Head. Slice 77 of 155.
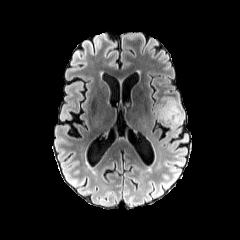
FLAIR magnetic resonance.
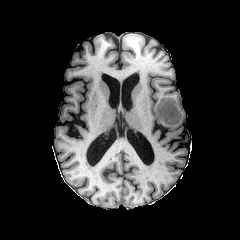
T1-weighted magnetic resonance.
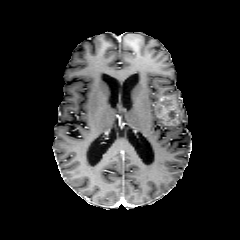
Post-contrast T1-weighted MR.
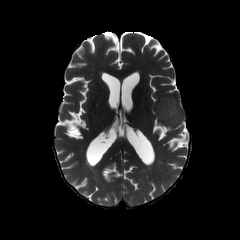
T2-weighted MR.
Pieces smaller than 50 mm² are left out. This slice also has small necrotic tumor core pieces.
peritumoral edema: bounding box [176,99,184,124]
enhancing tumor: bounding box [156,96,181,124]